Head | 240x240 | Slice index 64
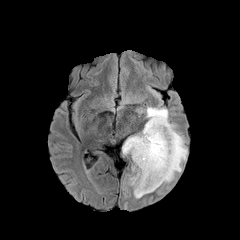
FLAIR MRI.
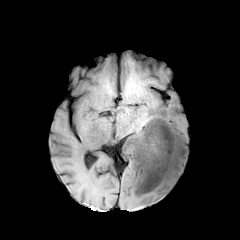
T1-weighted MR image.
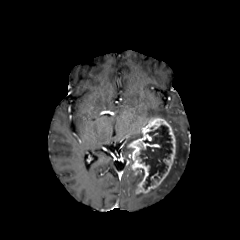
Post-contrast T1-weighted MR.
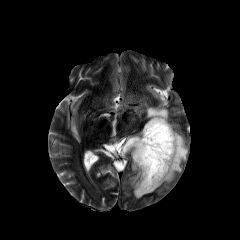
T2-weighted MR of the same slice.
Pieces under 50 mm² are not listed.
• necrotic tumor core: (139, 125, 172, 189)
• peritumoral edema: (129, 169, 145, 198), (146, 107, 187, 183), (122, 131, 142, 155)
• enhancing tumor: (127, 117, 176, 194)